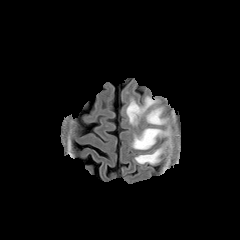
FLAIR MR image.
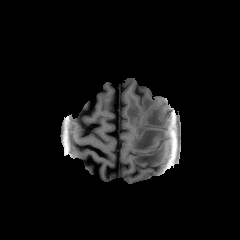
T1-weighted magnetic resonance.
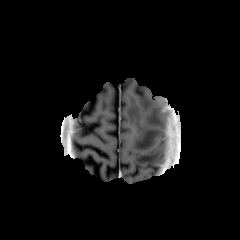
Post-contrast T1-weighted magnetic resonance of the same slice.
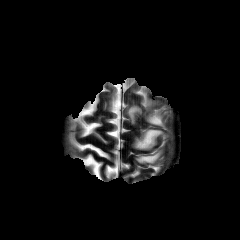
T2-weighted magnetic resonance.
Axial slice. 240x240 px.
peritumoral edema: 146 107 167 125, 132 128 166 149, 126 97 155 124, 135 146 163 164